FLAIR MR.
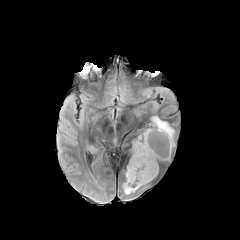
T1-weighted MR image.
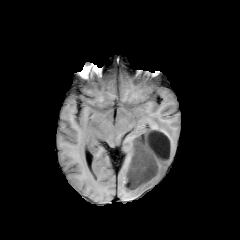
Post-contrast T1-weighted MRI.
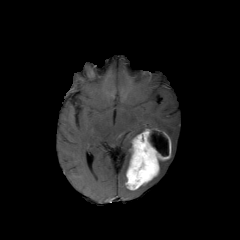
T2-weighted magnetic resonance.
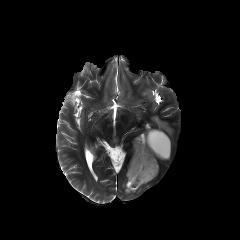
Image size 240x240. Head.
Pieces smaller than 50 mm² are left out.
<segmentation>
  <enhancing_tumor>bbox(126, 128, 171, 190)</enhancing_tumor>
  <necrotic_tumor_core>bbox(149, 130, 168, 156)</necrotic_tumor_core>
  <peritumoral_edema>bbox(152, 116, 173, 145); bbox(123, 183, 135, 194)</peritumoral_edema>
</segmentation>